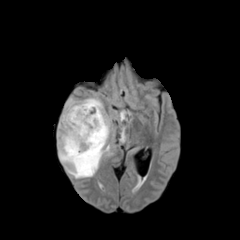
FLAIR MRI.
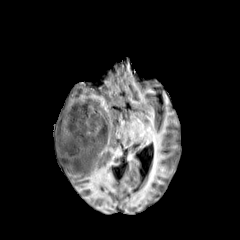
T1-weighted magnetic resonance.
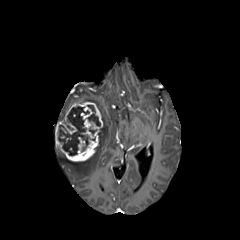
Post-contrast T1-weighted MR image.
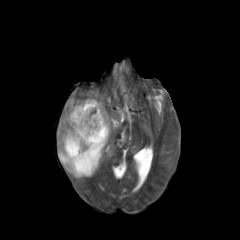
T2-weighted MR image of the same slice.
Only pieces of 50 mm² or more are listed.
enhancing tumor at <bbox>56, 101, 103, 161</bbox>
peritumoral edema at <bbox>64, 97, 76, 111</bbox>, <bbox>58, 93, 111, 178</bbox>
necrotic tumor core at <bbox>87, 105, 100, 126</bbox>, <bbox>58, 106, 89, 155</bbox>